Slice 70/155
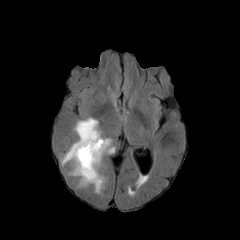
FLAIR MR image.
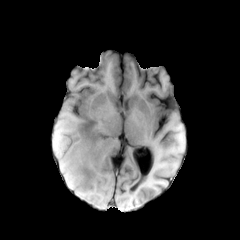
T1-weighted MR.
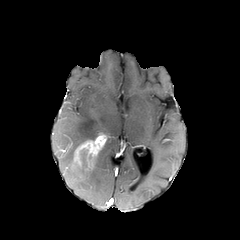
Post-contrast T1-weighted MR.
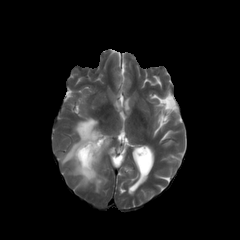
Same slice, T2-weighted MRI.
peritumoral edema: [69,137,115,192], [61,117,101,165]
enhancing tumor: [72,133,106,176]
necrotic tumor core: [81,151,86,166]